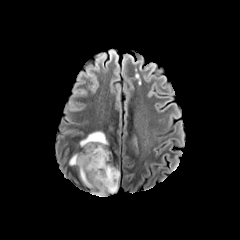
FLAIR MR.
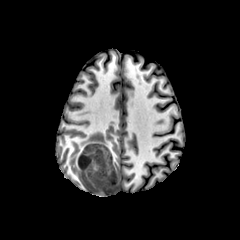
Same slice, T1-weighted MR.
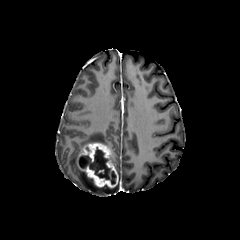
Post-contrast T1-weighted MRI.
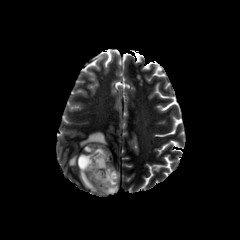
T2-weighted MR image.
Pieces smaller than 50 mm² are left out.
Findings:
- necrotic tumor core: rect(78, 147, 116, 184)
- enhancing tumor: rect(76, 142, 118, 188)
- peritumoral edema: rect(69, 154, 79, 165); rect(79, 170, 118, 194); rect(80, 131, 108, 146)